FLAIR MR.
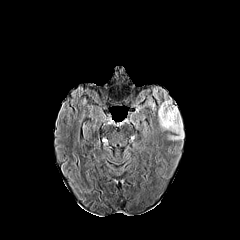
T1-weighted MRI.
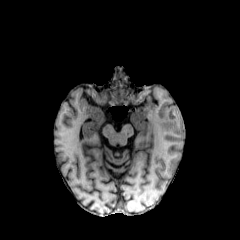
Post-contrast T1-weighted MRI.
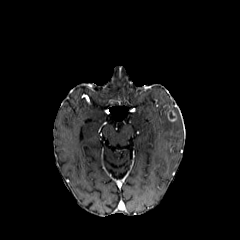
T2-weighted MR.
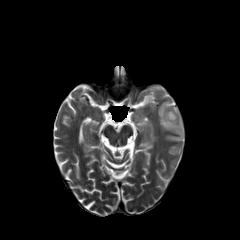
Head
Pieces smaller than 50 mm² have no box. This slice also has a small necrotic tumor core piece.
<segmentation>
  <enhancing_tumor>x1=167 y1=110 x2=176 y2=121</enhancing_tumor>
  <peritumoral_edema>x1=158 y1=98 x2=183 y2=140</peritumoral_edema>
</segmentation>